Axial plane
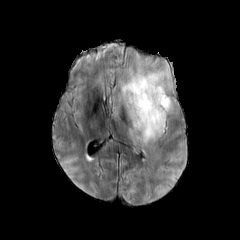
FLAIR magnetic resonance.
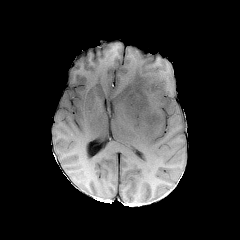
T1-weighted MR.
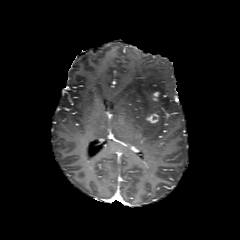
Same slice, post-contrast T1-weighted MR.
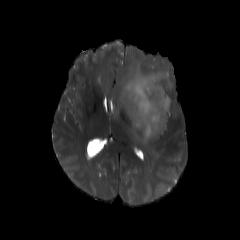
Same slice, T2-weighted MRI.
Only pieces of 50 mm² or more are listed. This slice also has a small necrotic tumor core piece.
peritumoral_edema:
  - (117, 65, 172, 144)
enhancing_tumor:
  - (146, 113, 159, 123)
  - (152, 92, 159, 101)